Axial plane. Slice index 98.
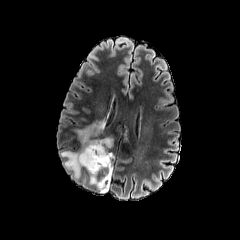
FLAIR magnetic resonance.
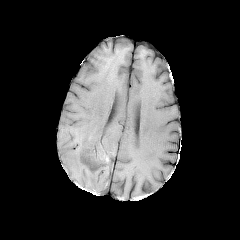
T1-weighted MRI.
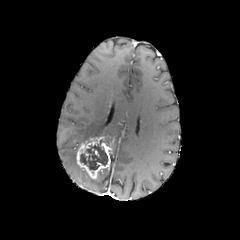
Post-contrast T1-weighted MR.
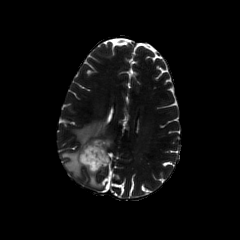
T2-weighted MRI.
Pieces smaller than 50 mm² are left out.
The largest enhancing tumor region lies within (x1=76, y1=135, x2=113, y2=179). The necrotic tumor core lies within (x1=80, y1=140, x2=107, y2=169). The 3 largest peritumoral edema regions appear at (x1=75, y1=121, x2=104, y2=143), (x1=61, y1=151, x2=81, y2=177), (x1=90, y1=153, x2=114, y2=186).